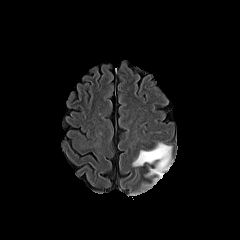
FLAIR MR.
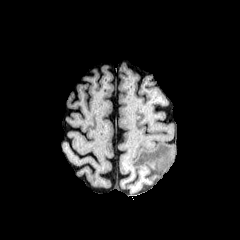
T1-weighted MR.
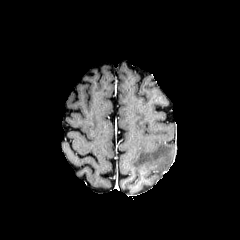
Same slice, post-contrast T1-weighted MRI.
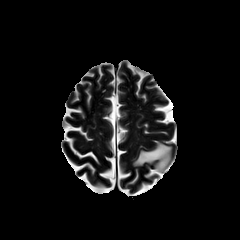
Same slice, T2-weighted MRI.
Brain
peritumoral edema: (left=132, top=143, right=172, bottom=185)